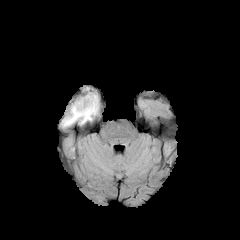
FLAIR magnetic resonance.
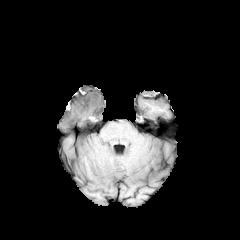
Same slice, T1-weighted MR.
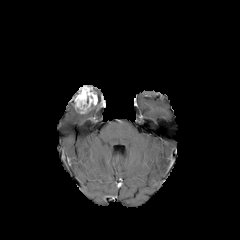
Post-contrast T1-weighted MR image.
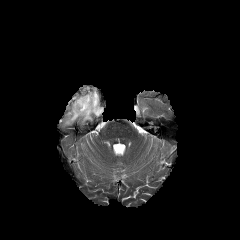
T2-weighted magnetic resonance of the same slice.
Head.
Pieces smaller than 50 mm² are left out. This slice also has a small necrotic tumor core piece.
The enhancing tumor lies within [71, 85, 100, 114]. The peritumoral edema appears at [63, 105, 98, 126].